FLAIR MRI.
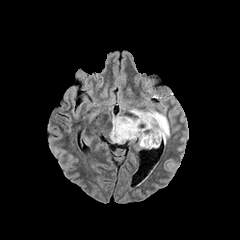
T1-weighted MR image.
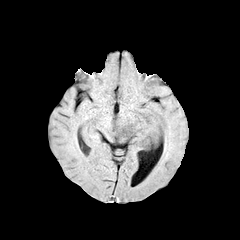
Post-contrast T1-weighted magnetic resonance.
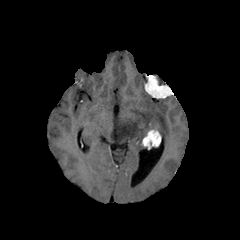
T2-weighted MR image.
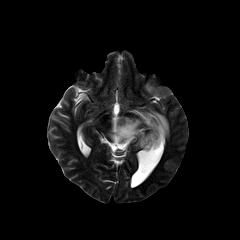
Brain, 240x240 px
Segmented structures:
• peritumoral edema: bbox(109, 108, 169, 147)
• enhancing tumor: bbox(141, 128, 161, 149)